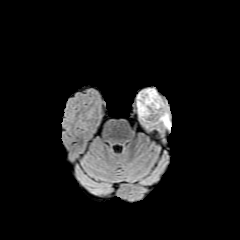
FLAIR MR.
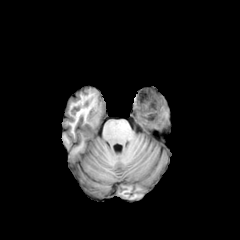
Same slice, T1-weighted magnetic resonance.
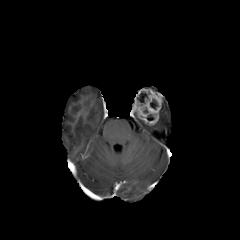
Post-contrast T1-weighted MR image.
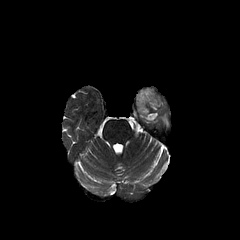
T2-weighted MR.
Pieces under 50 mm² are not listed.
necrotic tumor core: bounding box [x1=150, y1=99, x2=157, y2=109], [x1=137, y1=92, x2=147, y2=102]
enhancing tumor: bounding box [x1=133, y1=88, x2=162, y2=125]
peritumoral edema: bounding box [x1=158, y1=110, x2=170, y2=128]